Image covers 240 mm x 240 mm
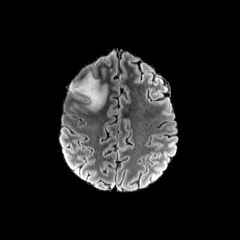
FLAIR magnetic resonance.
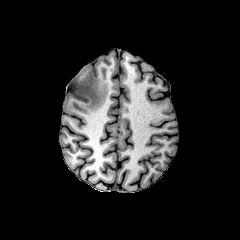
Same slice, T1-weighted MR image.
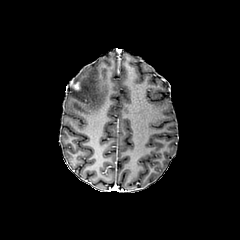
Post-contrast T1-weighted MR image.
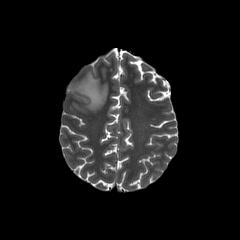
Same slice, T2-weighted MR.
peritumoral edema: bounding box x1=69 y1=72 x2=106 y2=110
enhancing tumor: bounding box x1=70 y1=81 x2=79 y2=90